FLAIR MR.
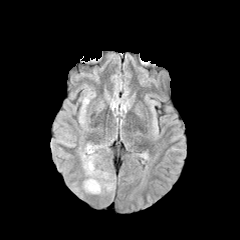
T1-weighted magnetic resonance.
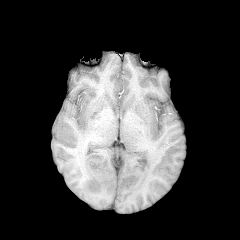
Post-contrast T1-weighted MRI.
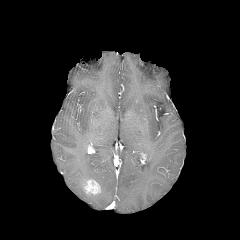
T2-weighted MRI.
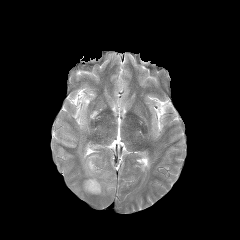
240x240
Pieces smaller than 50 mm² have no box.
peritumoral edema: <bbox>81, 144, 114, 193</bbox> | enhancing tumor: <bbox>84, 179, 100, 194</bbox>